Image size 240x240
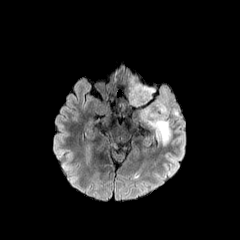
FLAIR MR.
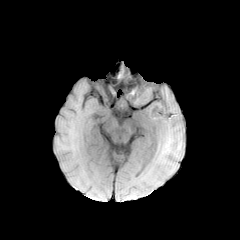
Same slice, T1-weighted MR image.
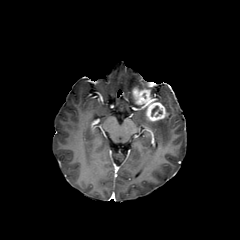
Same slice, post-contrast T1-weighted magnetic resonance.
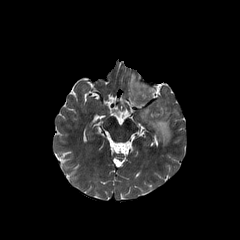
Same slice, T2-weighted MRI.
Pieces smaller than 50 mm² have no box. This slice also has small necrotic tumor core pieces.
<segmentation>
  <peritumoral_edema>(130,77,171,145)</peritumoral_edema>
  <enhancing_tumor>(133,86,166,121)</enhancing_tumor>
</segmentation>